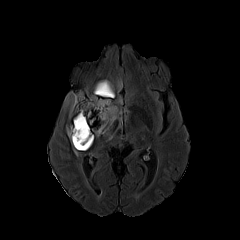
FLAIR MR.
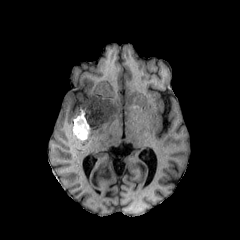
T1-weighted MR image.
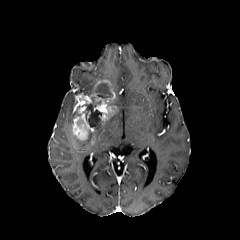
Post-contrast T1-weighted magnetic resonance of the same slice.
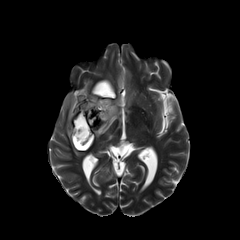
T2-weighted MR.
Brain; 240x240 px
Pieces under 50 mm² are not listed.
<segmentation>
  <necrotic_tumor_core>[x1=74, y1=130, x2=91, y2=148], [x1=83, y1=104, x2=102, y2=127], [x1=95, y1=83, x2=112, y2=98]</necrotic_tumor_core>
  <peritumoral_edema>[x1=64, y1=92, x2=75, y2=118], [x1=66, y1=124, x2=87, y2=156], [x1=94, y1=108, x2=121, y2=136], [x1=117, y1=80, x2=122, y2=91]</peritumoral_edema>
  <enhancing_tumor>[x1=71, y1=79, x2=117, y2=149]</enhancing_tumor>
</segmentation>